Axial slice; Head
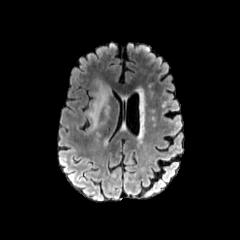
FLAIR MR image.
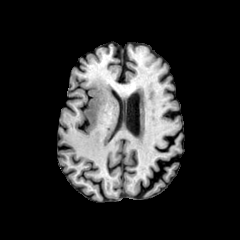
T1-weighted MR.
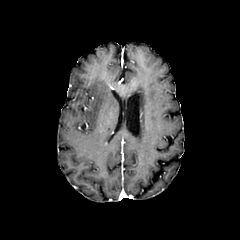
Post-contrast T1-weighted magnetic resonance.
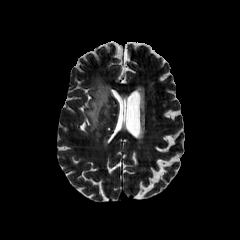
Same slice, T2-weighted MR image.
peritumoral edema: bounding box x1=86 y1=80 x2=110 y2=130